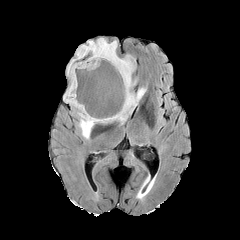
FLAIR MR image.
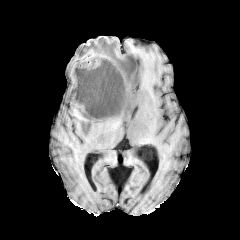
Same slice, T1-weighted MR.
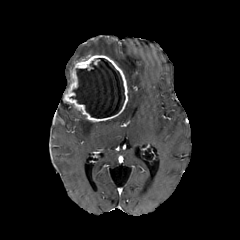
Same slice, post-contrast T1-weighted magnetic resonance.
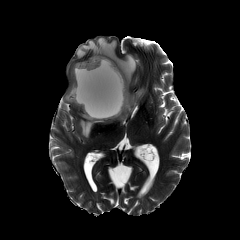
T2-weighted MR.
necrotic tumor core — (70,58,124,118)
enhancing tumor — (63,55,128,122)
peritumoral edema — (67,38,146,123), (78,111,95,139)